240x240 px; Brain
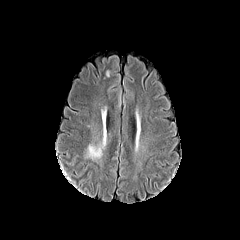
FLAIR MRI.
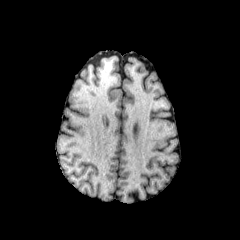
Same slice, T1-weighted MR.
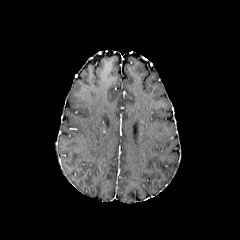
Post-contrast T1-weighted MR image.
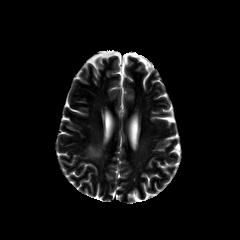
Same slice, T2-weighted MR image.
peritumoral edema at l=87, t=139, r=105, b=158